Slice index 81. Head. 240x240. Axial slice.
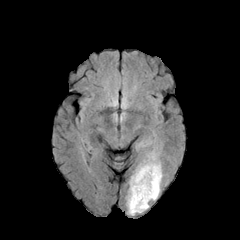
FLAIR MRI.
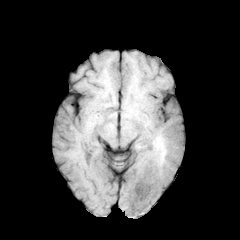
T1-weighted MR image.
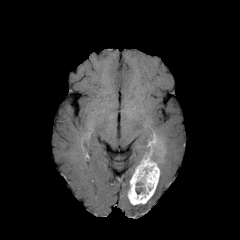
Same slice, post-contrast T1-weighted MR.
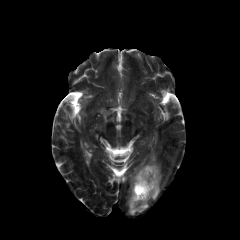
Same slice, T2-weighted MR image.
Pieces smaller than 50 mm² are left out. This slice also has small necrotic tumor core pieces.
The enhancing tumor is located at box=[128, 153, 159, 205]. The 2 largest peritumoral edema regions appear at box=[127, 197, 148, 215]; box=[150, 163, 162, 199].